Brain; Image width 240 mm; Axial slice
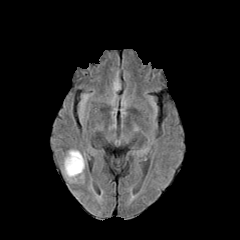
FLAIR magnetic resonance.
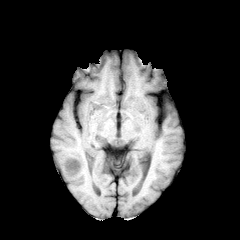
T1-weighted MRI of the same slice.
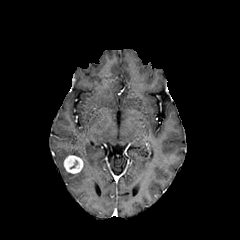
Post-contrast T1-weighted MRI.
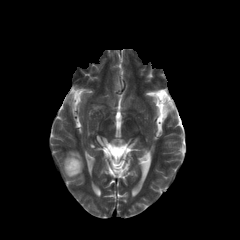
T2-weighted MRI.
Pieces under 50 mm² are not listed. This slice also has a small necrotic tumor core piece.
Findings:
- peritumoral edema: box(61, 149, 85, 182)
- enhancing tumor: box(64, 155, 83, 173)